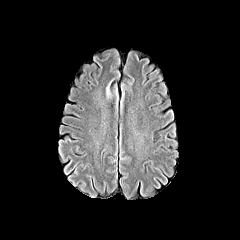
FLAIR MRI.
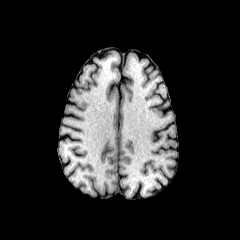
Same slice, T1-weighted MR image.
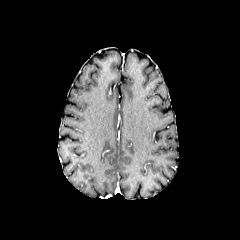
Same slice, post-contrast T1-weighted magnetic resonance.
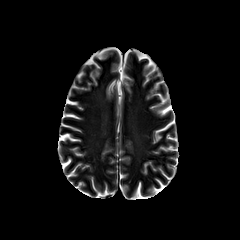
Same slice, T2-weighted MR image.
The peritumoral edema is at 105,78,117,102.